Slice 105/155. Brain.
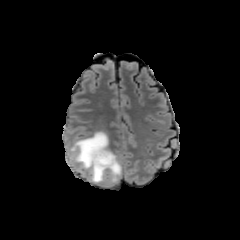
FLAIR MR image.
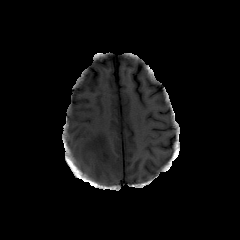
T1-weighted magnetic resonance.
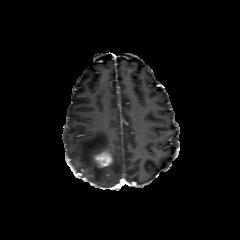
Same slice, post-contrast T1-weighted magnetic resonance.
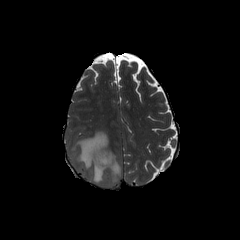
T2-weighted magnetic resonance of the same slice.
The enhancing tumor appears at [93, 150, 112, 167]. The peritumoral edema is bounded by [71, 131, 121, 185].